Head
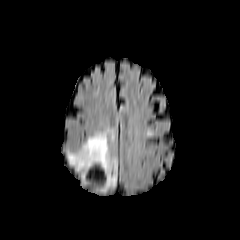
FLAIR MR image.
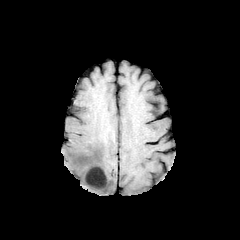
Same slice, T1-weighted MR.
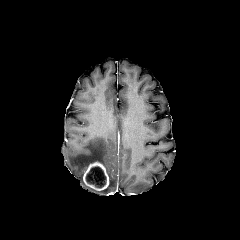
Post-contrast T1-weighted MR.
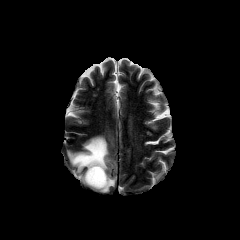
T2-weighted MRI of the same slice.
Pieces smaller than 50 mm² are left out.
peritumoral edema at bbox(67, 133, 116, 192)
enhancing tumor at bbox(83, 161, 109, 190)
necrotic tumor core at bbox(86, 166, 106, 187)